Image size 240x240; Axial slice; Head
FLAIR MR.
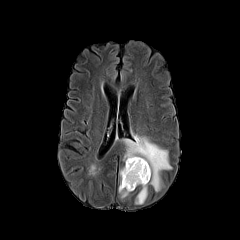
T1-weighted magnetic resonance.
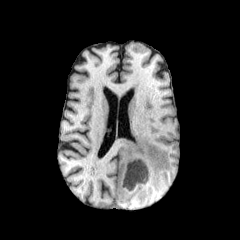
Post-contrast T1-weighted MR image.
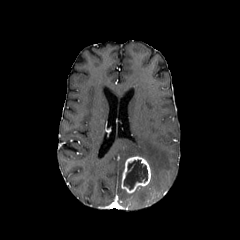
T2-weighted MR image.
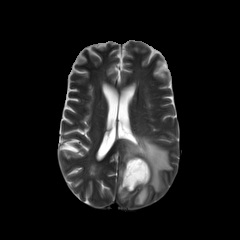
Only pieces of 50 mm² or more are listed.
The necrotic tumor core is at (124, 160, 147, 189). The 3 largest peritumoral edema regions appear at (118, 183, 128, 198), (123, 134, 171, 191), (135, 185, 147, 204). The enhancing tumor appears at (121, 156, 150, 193).